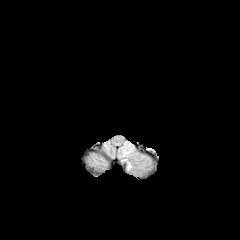
FLAIR MRI.
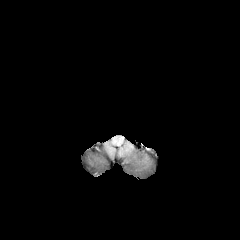
T1-weighted magnetic resonance of the same slice.
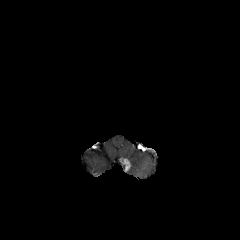
Post-contrast T1-weighted MR.
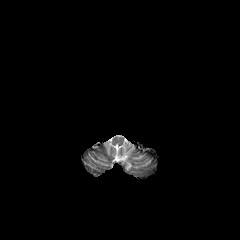
Same slice, T2-weighted MR.
Brain
The enhancing tumor is bounded by left=121, top=158, right=130, bottom=170. The peritumoral edema lies within left=118, top=142, right=151, bottom=174.